Head; Slice 58 of 155; Axial plane; Image covers 240 mm x 240 mm
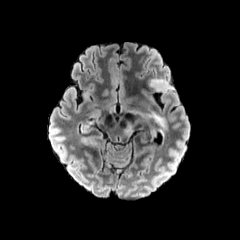
FLAIR MR.
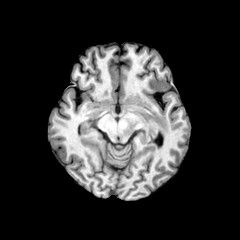
T1-weighted MR.
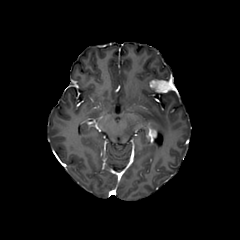
Post-contrast T1-weighted magnetic resonance.
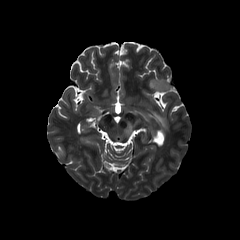
T2-weighted MR.
Segmented structures:
• enhancing tumor: <box>147,129,156,139</box>
• peritumoral edema: <box>125,119,139,135</box>, <box>135,111,166,131</box>